Brain
FLAIR MR.
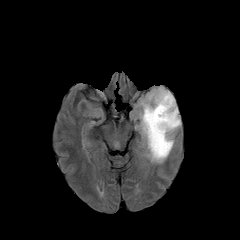
T1-weighted MR.
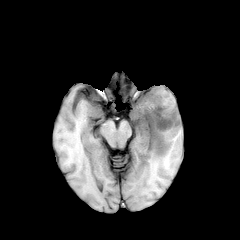
Post-contrast T1-weighted MR.
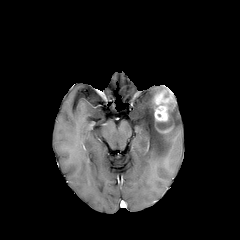
T2-weighted MR image.
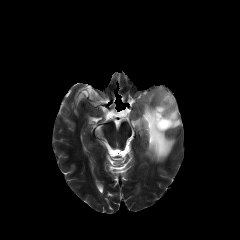
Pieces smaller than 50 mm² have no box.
Segmented structures:
- peritumoral edema: (x1=138, y1=86, x2=181, y2=162)
- enhancing tumor: (x1=153, y1=89, x2=175, y2=132)
- necrotic tumor core: (x1=157, y1=121, x2=170, y2=129)